FLAIR MR.
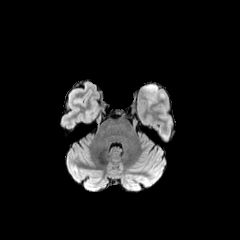
T1-weighted MR image.
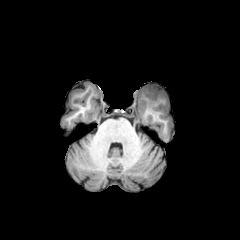
Post-contrast T1-weighted magnetic resonance.
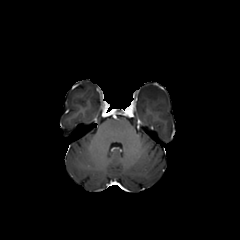
T2-weighted magnetic resonance.
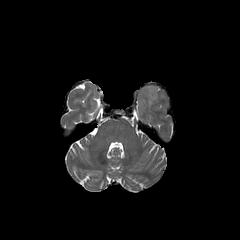
Image size 240x240.
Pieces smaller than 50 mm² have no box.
The largest peritumoral edema region appears at {"x1": 145, "y1": 85, "x2": 165, "y2": 104}.